Brain
FLAIR MR image.
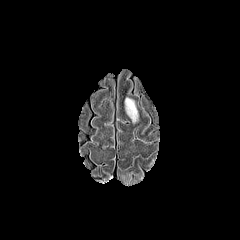
T1-weighted MR image.
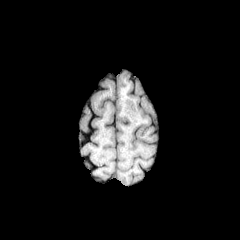
Post-contrast T1-weighted MR.
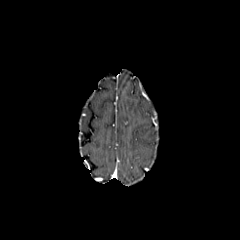
T2-weighted MR image.
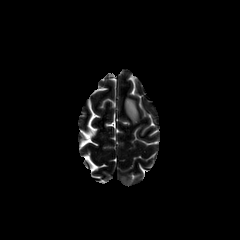
The peritumoral edema appears at box(125, 98, 138, 122).